FLAIR MRI.
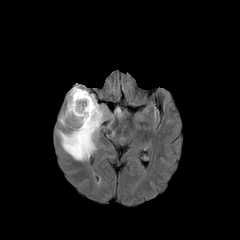
T1-weighted MRI.
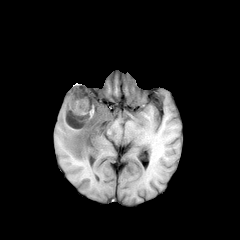
Post-contrast T1-weighted MRI.
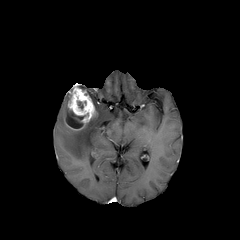
T2-weighted MR.
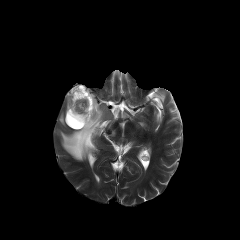
Head; Axial slice
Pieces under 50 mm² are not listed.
peritumoral edema: bounding box box(57, 90, 107, 161); box(113, 108, 121, 116)
enhancing tumor: bounding box box(63, 85, 97, 130)
necrotic tumor core: bounding box box(67, 111, 84, 128)